Axial slice, Head, 240x240 px
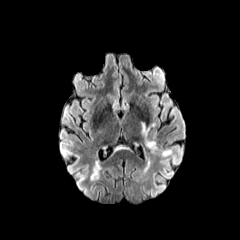
FLAIR magnetic resonance.
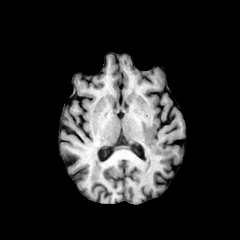
T1-weighted magnetic resonance.
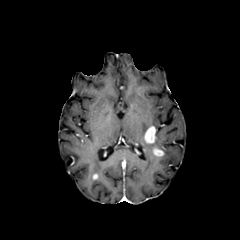
Post-contrast T1-weighted MR.
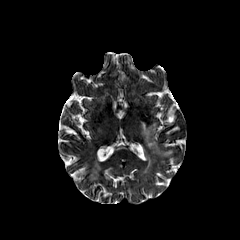
T2-weighted MR image.
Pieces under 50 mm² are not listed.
enhancing_tumor:
  - [144,126,155,143]
  - [153,147,164,156]
peritumoral_edema:
  - [145,140,157,152]
  - [141,122,147,136]
  - [161,149,172,156]